FLAIR magnetic resonance.
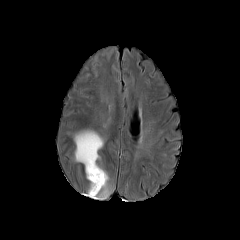
T1-weighted MR.
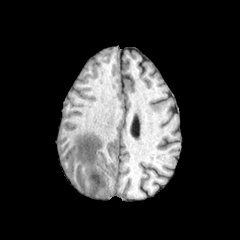
Post-contrast T1-weighted MR.
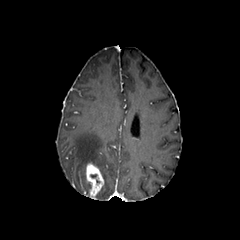
T2-weighted MR.
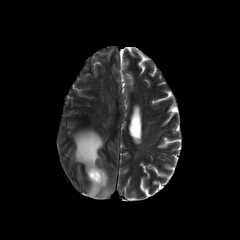
240x240 px. Head.
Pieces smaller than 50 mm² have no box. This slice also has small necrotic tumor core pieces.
The enhancing tumor is bounded by [86,163,104,198]. The largest peritumoral edema region is bounded by [74,130,111,199].